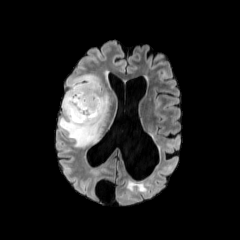
FLAIR MR.
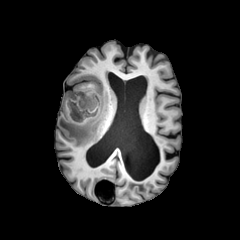
T1-weighted MR of the same slice.
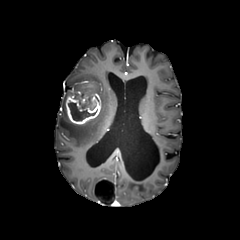
Post-contrast T1-weighted MR image.
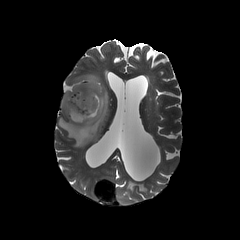
T2-weighted magnetic resonance of the same slice.
Image size 240x240
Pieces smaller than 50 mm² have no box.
enhancing tumor = rect(65, 89, 101, 124)
peritumoral edema = rect(58, 74, 109, 146)
necrotic tumor core = rect(79, 98, 91, 108); rect(68, 102, 97, 120)